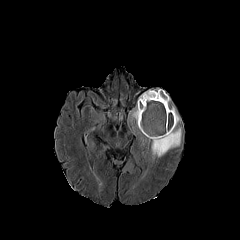
FLAIR MR image.
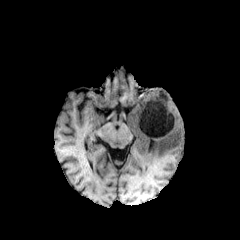
T1-weighted MR image of the same slice.
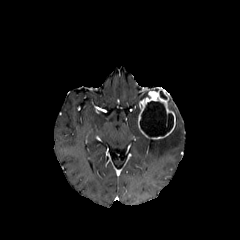
Post-contrast T1-weighted magnetic resonance.
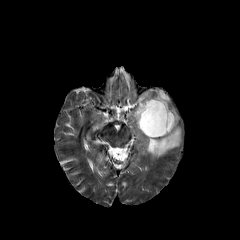
Same slice, T2-weighted magnetic resonance.
Axial slice | Image size 240x240
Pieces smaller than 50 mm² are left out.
necrotic_tumor_core:
  - bbox(140, 101, 173, 136)
enhancing_tumor:
  - bbox(138, 89, 175, 139)
peritumoral_edema:
  - bbox(144, 105, 181, 159)
  - bbox(128, 91, 150, 124)